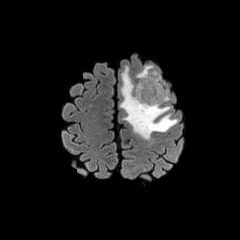
FLAIR MR image.
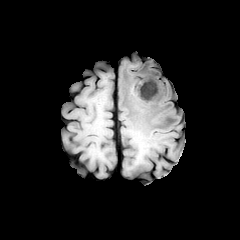
T1-weighted magnetic resonance.
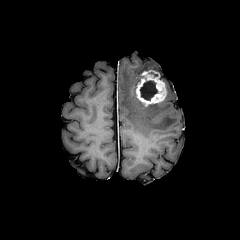
Same slice, post-contrast T1-weighted magnetic resonance.
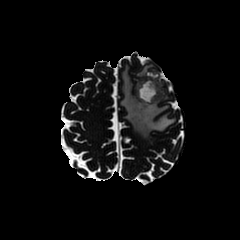
T2-weighted magnetic resonance.
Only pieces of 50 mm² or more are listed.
enhancing tumor — region(136, 71, 166, 106)
necrotic tumor core — region(140, 80, 157, 100)
peritumoral edema — region(136, 64, 154, 82); region(120, 66, 177, 139)